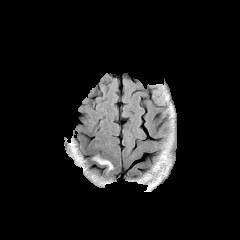
FLAIR magnetic resonance.
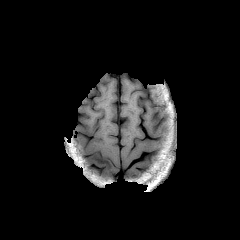
Same slice, T1-weighted MRI.
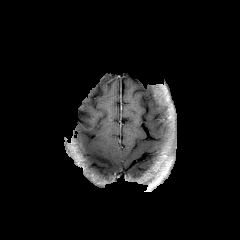
Post-contrast T1-weighted magnetic resonance.
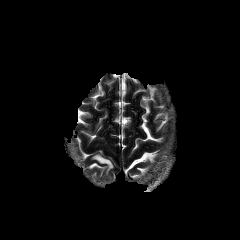
T2-weighted magnetic resonance.
Axial view. Brain.
The peritumoral edema lies within region(92, 154, 113, 173).